FLAIR magnetic resonance.
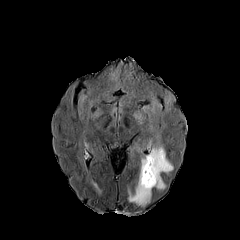
T1-weighted magnetic resonance.
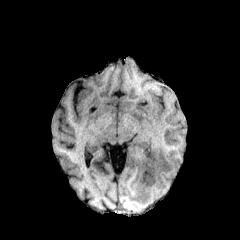
Post-contrast T1-weighted MR image.
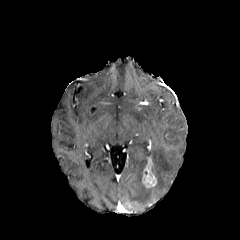
T2-weighted MRI.
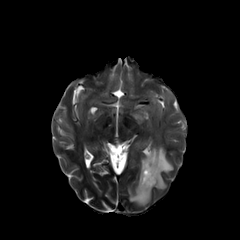
Image size 240x240, Axial plane
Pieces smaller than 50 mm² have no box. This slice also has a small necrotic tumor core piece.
enhancing tumor: box=[142, 156, 156, 187]
peritumoral edema: box=[161, 90, 173, 116]; box=[128, 93, 173, 205]